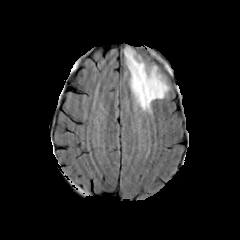
FLAIR magnetic resonance.
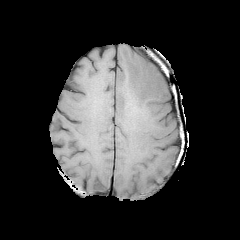
T1-weighted magnetic resonance.
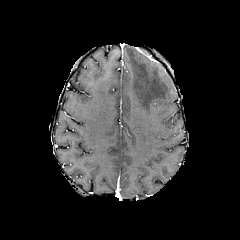
Post-contrast T1-weighted MRI.
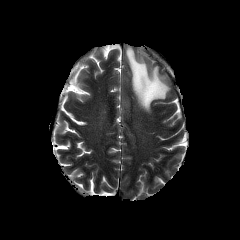
Same slice, T2-weighted magnetic resonance.
Axial plane. Head.
The peritumoral edema appears at bbox=[124, 47, 169, 113].